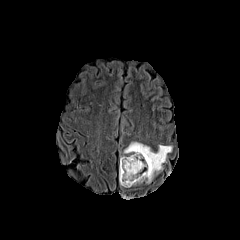
FLAIR MR image.
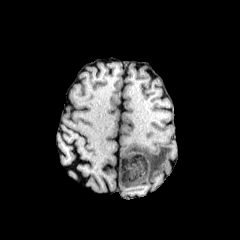
Same slice, T1-weighted MR.
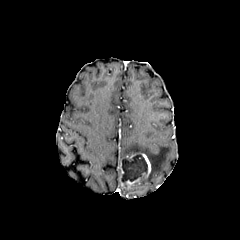
Post-contrast T1-weighted MRI.
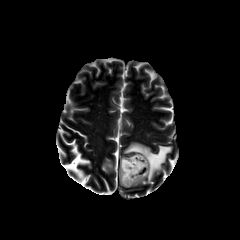
T2-weighted MRI of the same slice.
Image size 240x240 | Head
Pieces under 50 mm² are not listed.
The necrotic tumor core lies within 121:154:147:182. The largest peritumoral edema region lies within 123:142:172:182. The enhancing tumor appears at 119:153:151:187.